Slice 113/155. Brain. Image width 240 mm, 1.00 mm slice spacing.
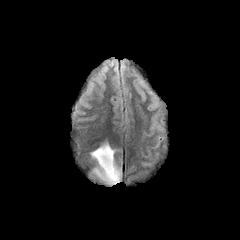
FLAIR MR.
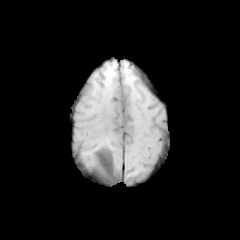
Same slice, T1-weighted magnetic resonance.
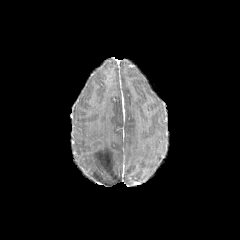
Same slice, post-contrast T1-weighted MR image.
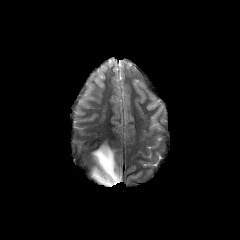
T2-weighted MRI of the same slice.
peritumoral edema = [90,142,121,185]